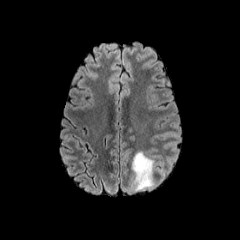
FLAIR MR.
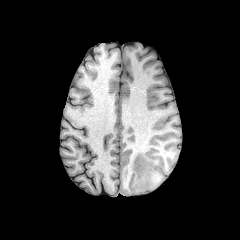
Same slice, T1-weighted magnetic resonance.
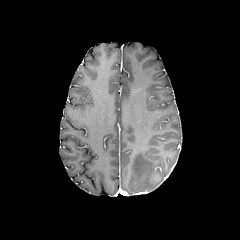
Same slice, post-contrast T1-weighted MRI.
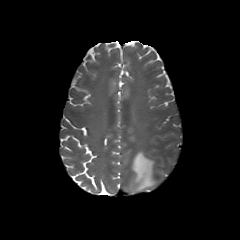
Same slice, T2-weighted MRI.
Head; Axial plane
The peritumoral edema is located at l=132, t=151, r=156, b=191.